Axial view | Head
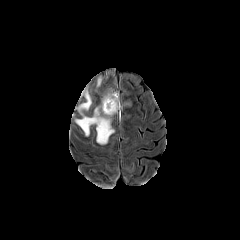
FLAIR MR image.
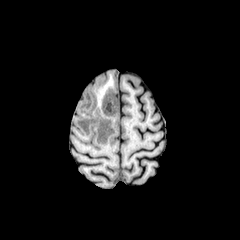
T1-weighted MR image.
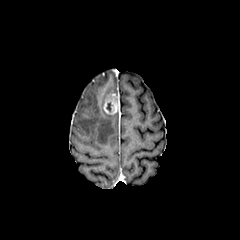
Same slice, post-contrast T1-weighted MR.
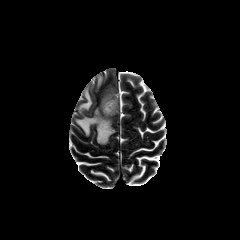
Same slice, T2-weighted MR image.
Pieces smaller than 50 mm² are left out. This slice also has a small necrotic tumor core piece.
enhancing tumor at {"x1": 103, "y1": 93, "x2": 119, "y2": 114}
peritumoral edema at {"x1": 75, "y1": 87, "x2": 114, "y2": 144}